Head
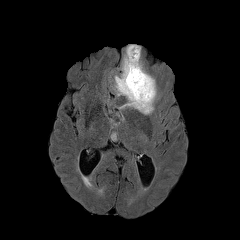
FLAIR MRI.
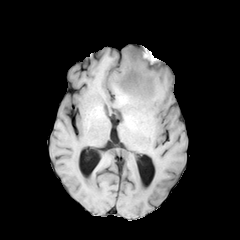
T1-weighted MRI.
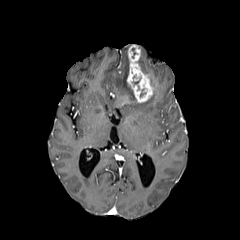
Post-contrast T1-weighted MR image of the same slice.
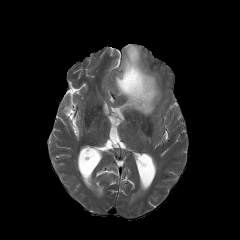
Same slice, T2-weighted MRI.
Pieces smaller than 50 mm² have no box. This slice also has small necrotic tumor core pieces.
enhancing tumor at [126,45,153,102]
peritumoral edema at [115,46,157,114]